Axial plane. 240x240. Slice 118 of 155. Head.
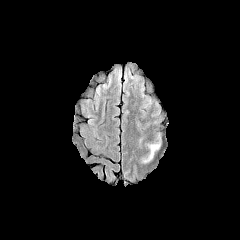
FLAIR MRI.
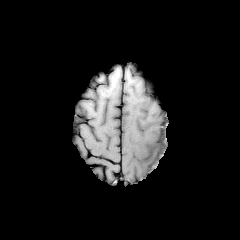
T1-weighted MR image.
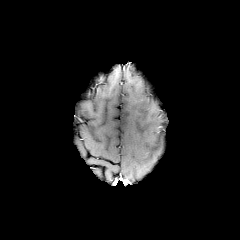
Post-contrast T1-weighted MR image of the same slice.
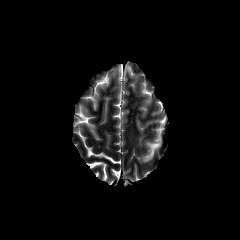
T2-weighted MR.
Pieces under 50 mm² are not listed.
The largest peritumoral edema region lies within region(142, 133, 160, 162).